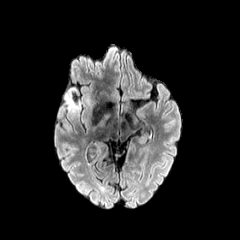
FLAIR MRI.
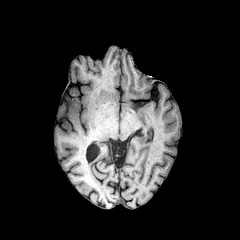
T1-weighted MR image of the same slice.
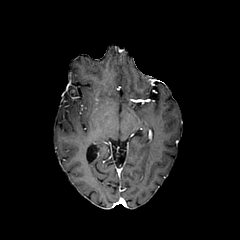
Same slice, post-contrast T1-weighted MR.
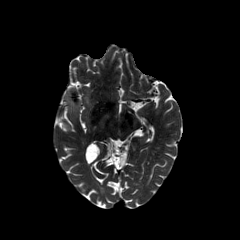
T2-weighted MR of the same slice.
Head
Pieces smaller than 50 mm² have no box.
peritumoral edema: [65, 86, 79, 111]